Axial view, Image covers 240 mm x 240 mm, 240x240 px, Brain
FLAIR MR.
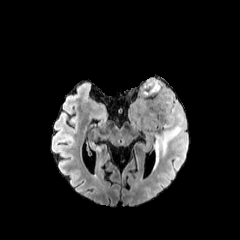
T1-weighted MRI.
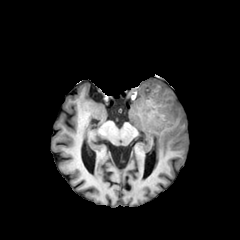
Post-contrast T1-weighted magnetic resonance.
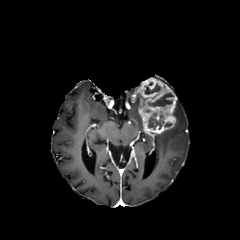
T2-weighted magnetic resonance.
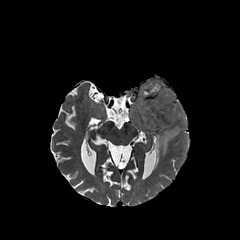
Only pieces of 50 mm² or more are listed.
The 3 largest necrotic tumor core regions appear at [148,113,163,129], [145,84,160,94], [148,93,173,106]. 2 peritumoral edema regions appear at [136,93,141,107], [155,101,186,163]. The enhancing tumor is at [138,77,176,134].